Slice index 57, Head
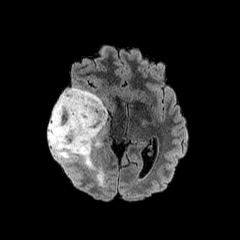
FLAIR magnetic resonance.
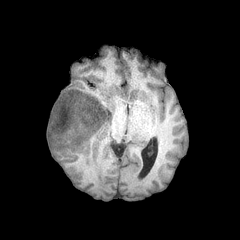
T1-weighted magnetic resonance.
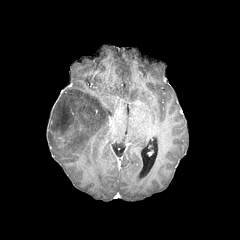
Post-contrast T1-weighted MR image.
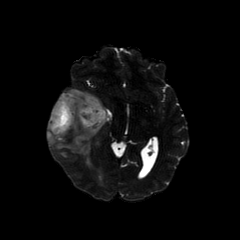
T2-weighted MR image.
Findings:
* peritumoral edema: (x1=47, y1=87, x2=107, y2=167)
* enhancing tumor: (x1=56, y1=132, x2=64, y2=146)